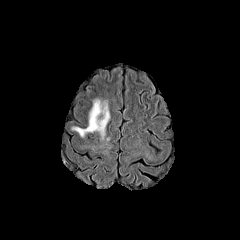
FLAIR MR image.
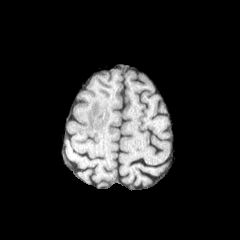
Same slice, T1-weighted magnetic resonance.
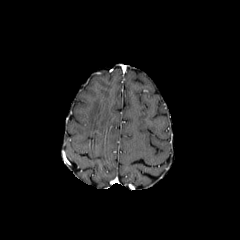
Post-contrast T1-weighted magnetic resonance of the same slice.
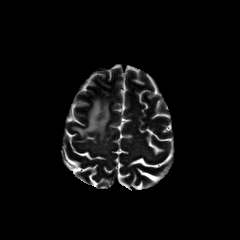
Same slice, T2-weighted magnetic resonance.
Head
The peritumoral edema appears at rect(72, 99, 109, 139).